Image covers 240 mm x 240 mm. Brain.
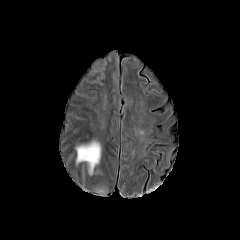
FLAIR MR image.
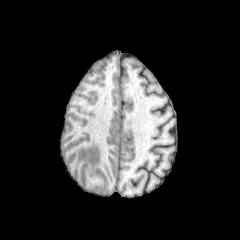
T1-weighted MR of the same slice.
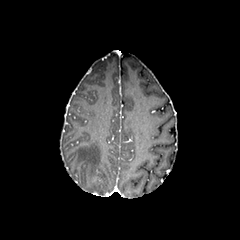
Post-contrast T1-weighted MR image of the same slice.
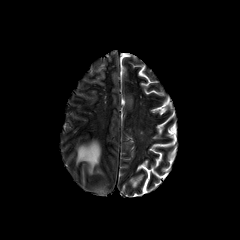
T2-weighted MR.
peritumoral edema — (left=76, top=140, right=101, bottom=174)